Image size 240x240; Image width 240 mm, 1.00 mm slice spacing; Brain
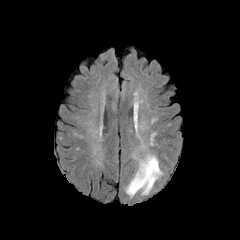
FLAIR MR image.
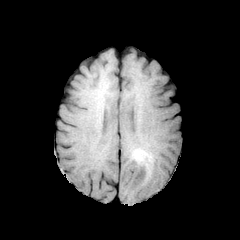
T1-weighted MR.
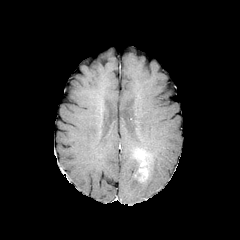
Post-contrast T1-weighted magnetic resonance.
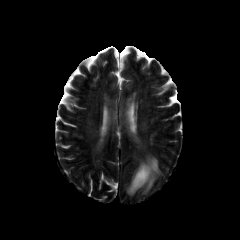
T2-weighted MR.
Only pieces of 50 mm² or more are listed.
The enhancing tumor is at [x1=134, y1=162, x2=148, y2=182]. The largest peritumoral edema region lies within [x1=125, y1=153, x2=162, y2=197].